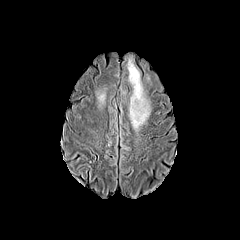
FLAIR magnetic resonance.
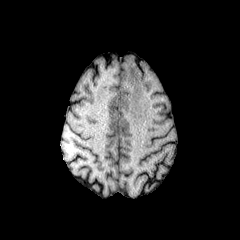
Same slice, T1-weighted MRI.
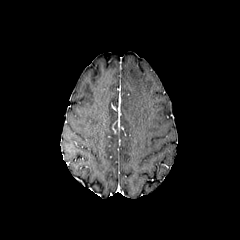
Post-contrast T1-weighted magnetic resonance of the same slice.
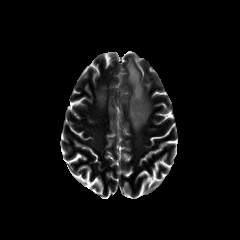
T2-weighted MR image.
Image size 240x240
2 peritumoral edema regions are located at 127:59:150:130, 98:94:104:102.